Slice index 62
FLAIR magnetic resonance.
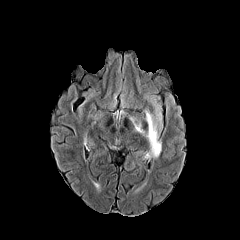
T1-weighted magnetic resonance.
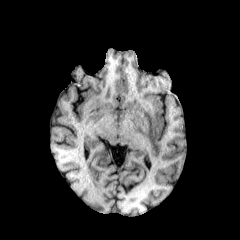
Post-contrast T1-weighted MRI.
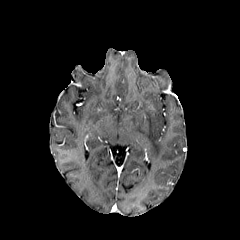
T2-weighted MRI.
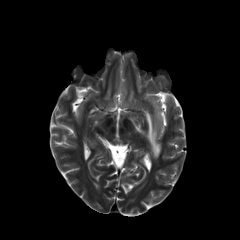
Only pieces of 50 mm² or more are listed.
Segmented structures:
* peritumoral edema: [145, 111, 162, 158], [134, 123, 144, 134]